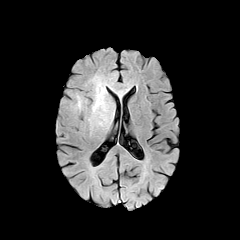
FLAIR MRI.
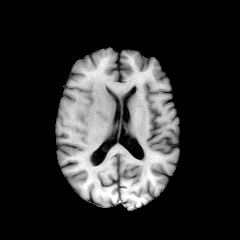
T1-weighted MRI.
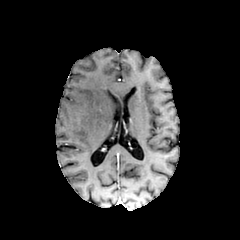
Post-contrast T1-weighted magnetic resonance.
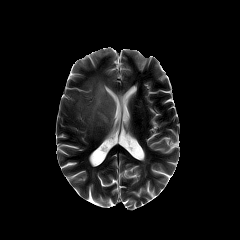
T2-weighted magnetic resonance.
Head. 240x240 px.
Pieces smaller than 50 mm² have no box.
peritumoral edema at rect(88, 76, 114, 127); rect(77, 96, 82, 109)